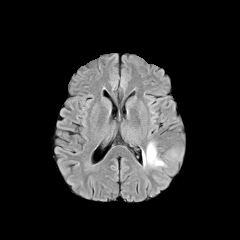
FLAIR MRI.
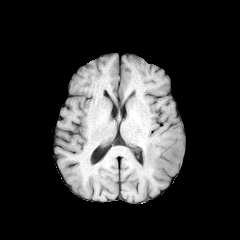
T1-weighted MRI of the same slice.
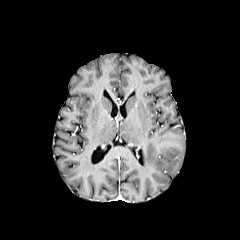
Post-contrast T1-weighted magnetic resonance.
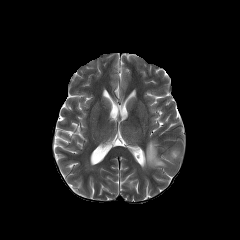
T2-weighted MRI of the same slice.
Image size 240x240
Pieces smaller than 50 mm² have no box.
{"peritumoral_edema": ["<box>143,141,165,167</box>"]}